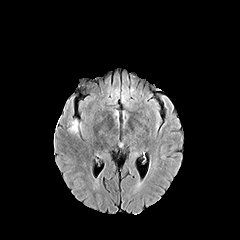
FLAIR MR image.
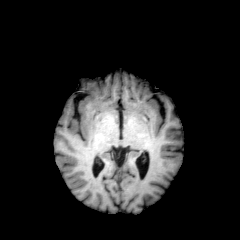
T1-weighted MR.
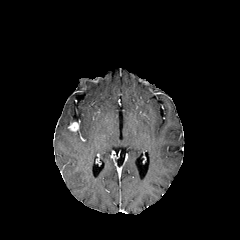
Same slice, post-contrast T1-weighted MRI.
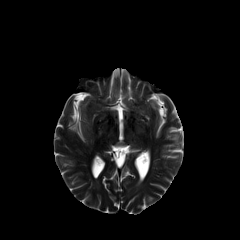
T2-weighted MR image.
Axial view.
Segmented structures:
- enhancing tumor: 68,122,79,132